FLAIR MRI.
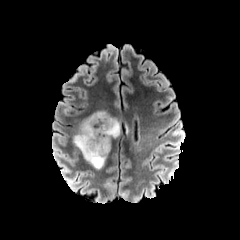
T1-weighted MR.
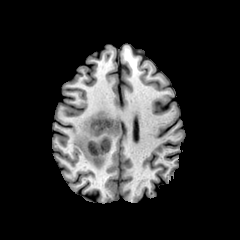
Post-contrast T1-weighted MR.
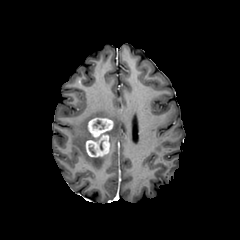
T2-weighted MRI.
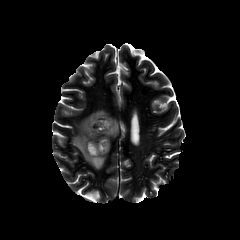
Brain, 240x240
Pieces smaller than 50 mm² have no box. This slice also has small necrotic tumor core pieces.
{
  "enhancing_tumor": [
    "88, 118, 113, 137",
    "86, 135, 110, 157"
  ],
  "peritumoral_edema": [
    "73, 111, 120, 169"
  ]
}